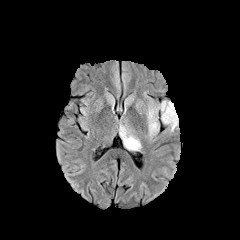
FLAIR MRI.
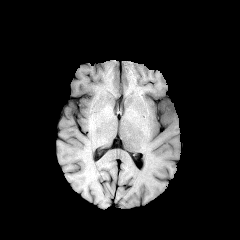
Same slice, T1-weighted MR image.
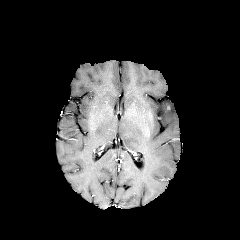
Post-contrast T1-weighted MR of the same slice.
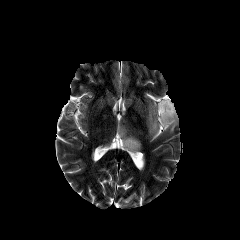
T2-weighted MRI.
240x240; Axial slice
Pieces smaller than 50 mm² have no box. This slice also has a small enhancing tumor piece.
<segmentation>
  <peritumoral_edema>119,125,141,151; 147,100,178,136</peritumoral_edema>
</segmentation>